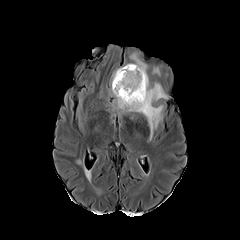
FLAIR magnetic resonance.
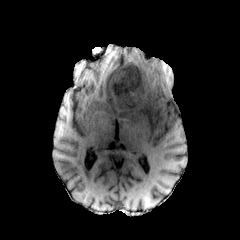
T1-weighted MR.
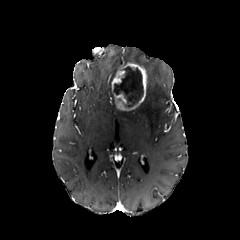
Same slice, post-contrast T1-weighted MR.
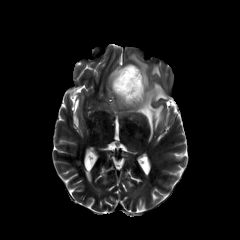
T2-weighted MR image.
Brain; Axial view
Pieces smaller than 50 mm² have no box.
peritumoral edema: (x1=131, y1=54, x2=147, y2=69), (x1=113, y1=78, x2=168, y2=139)
enhancing tumor: (x1=111, y1=63, x2=147, y2=111)
necrotic tumor core: (x1=113, y1=66, x2=143, y2=107)